FLAIR MR.
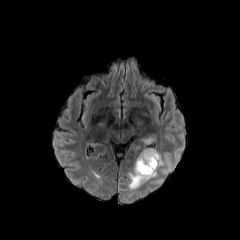
T1-weighted MRI.
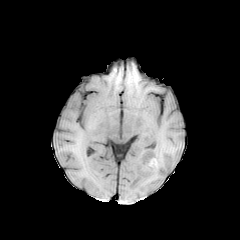
Post-contrast T1-weighted magnetic resonance.
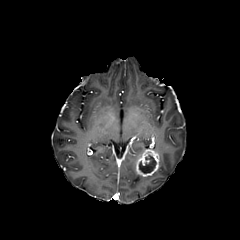
T2-weighted MR image.
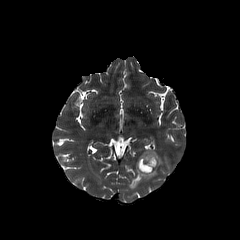
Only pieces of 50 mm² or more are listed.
The 2 largest peritumoral edema regions appear at <box>159,155,173,173</box>, <box>128,161,157,189</box>. The necrotic tumor core lies within <box>139,155,156,173</box>. The enhancing tumor is at <box>135,149,160,177</box>.